Axial plane
FLAIR magnetic resonance.
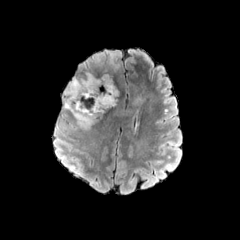
T1-weighted MR.
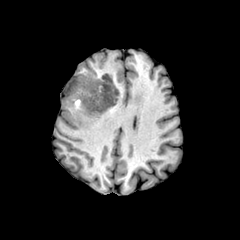
Post-contrast T1-weighted MR.
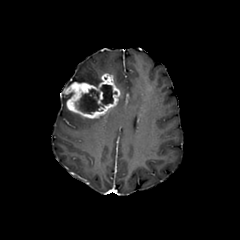
T2-weighted MR.
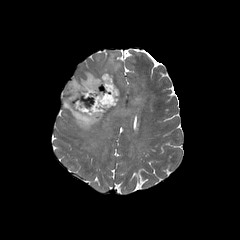
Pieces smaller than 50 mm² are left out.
The largest enhancing tumor region lies within 63 73 120 118. 4 peritumoral edema regions appear at 133 93 143 105, 62 94 102 130, 108 52 119 70, 68 70 108 84. 2 necrotic tumor core regions appear at 75 88 103 114, 100 84 116 104.